Slice index 54, Axial slice
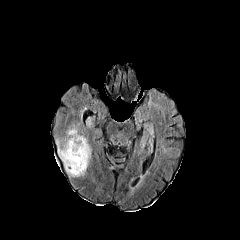
FLAIR MR.
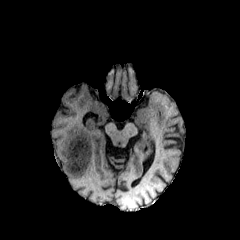
T1-weighted MRI.
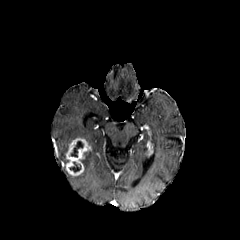
Same slice, post-contrast T1-weighted MR image.
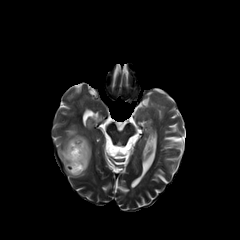
T2-weighted MR image.
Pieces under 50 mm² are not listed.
<segmentation>
  <necrotic_tumor_core>box=[69, 141, 84, 157]; box=[69, 161, 81, 172]</necrotic_tumor_core>
  <enhancing_tumor>box=[66, 138, 90, 175]</enhancing_tumor>
  <peritumoral_edema>box=[69, 148, 91, 177]; box=[56, 125, 89, 171]</peritumoral_edema>
</segmentation>